Brain.
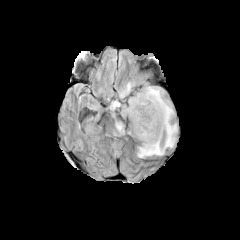
FLAIR MR.
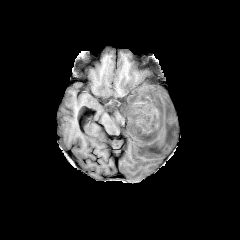
T1-weighted MR image of the same slice.
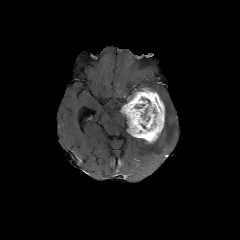
Post-contrast T1-weighted MRI.
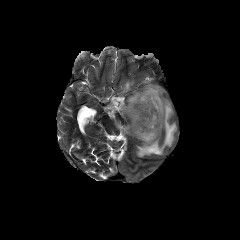
T2-weighted MRI.
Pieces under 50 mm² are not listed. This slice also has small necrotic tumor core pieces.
The enhancing tumor is located at rect(120, 87, 165, 143). 4 peritumoral edema regions are located at rect(137, 86, 177, 157); rect(110, 100, 122, 109); rect(120, 81, 134, 97); rect(116, 122, 124, 132).